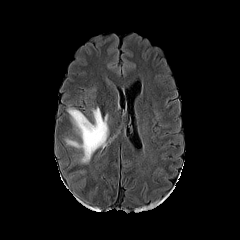
FLAIR magnetic resonance.
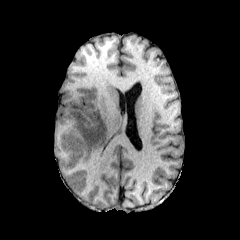
T1-weighted MR of the same slice.
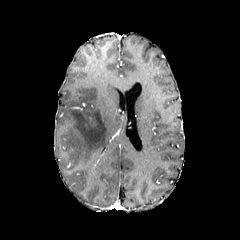
Post-contrast T1-weighted MR.
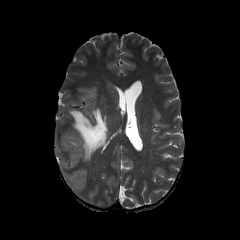
T2-weighted MR image.
Brain; Axial view; 240x240 px
peritumoral edema: bounding box box(65, 107, 109, 162)